Slice 65/155. Axial view.
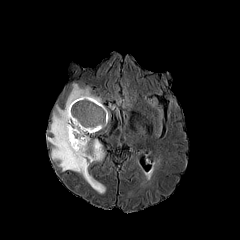
FLAIR MR.
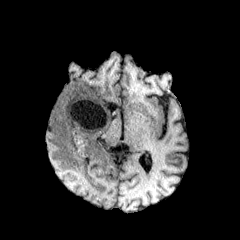
Same slice, T1-weighted MRI.
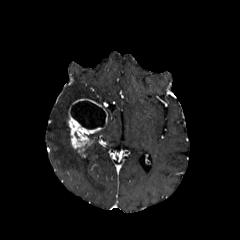
Post-contrast T1-weighted MRI of the same slice.
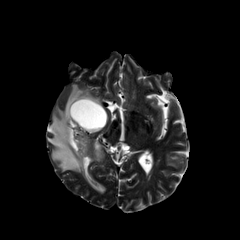
Same slice, T2-weighted MR.
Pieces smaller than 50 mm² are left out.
Segmented structures:
- peritumoral edema: (47,83,105,193)
- necrotic tumor core: (70,101,105,129)
- enhancing tumor: (67,98,107,157)